FLAIR magnetic resonance.
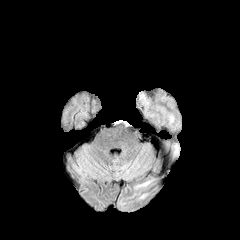
T1-weighted MR.
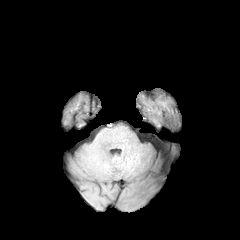
Post-contrast T1-weighted magnetic resonance.
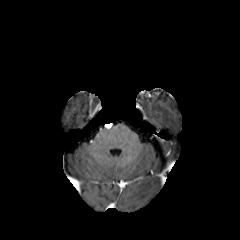
T2-weighted MRI.
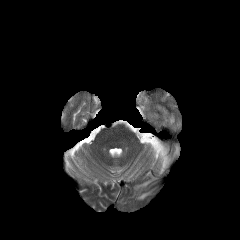
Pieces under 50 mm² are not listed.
peritumoral edema at left=135, top=181, right=150, bottom=189